Axial plane. Image width 240 mm. Slice 129 of 155.
FLAIR magnetic resonance.
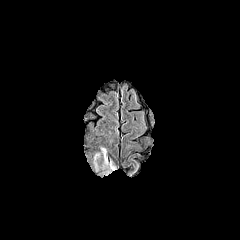
T1-weighted MR.
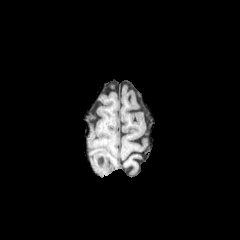
Post-contrast T1-weighted MR image.
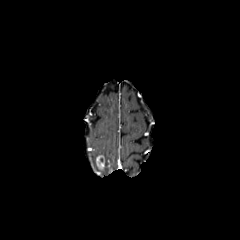
T2-weighted MR image.
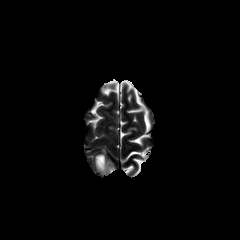
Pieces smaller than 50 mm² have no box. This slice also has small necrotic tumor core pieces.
peritumoral edema = [x1=101, y1=148, x2=107, y2=165]
enhancing tumor = [x1=96, y1=155, x2=106, y2=172]